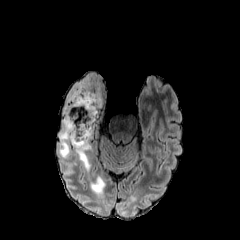
FLAIR magnetic resonance.
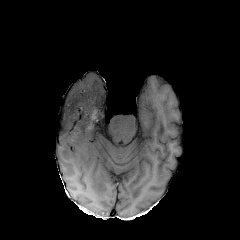
T1-weighted MR of the same slice.
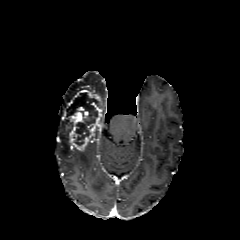
Same slice, post-contrast T1-weighted magnetic resonance.
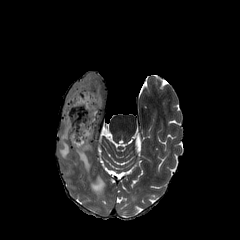
T2-weighted MR.
Axial view.
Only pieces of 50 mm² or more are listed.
enhancing_tumor:
  - (65, 89, 102, 151)
  - (70, 112, 82, 121)
peritumoral_edema:
  - (59, 82, 89, 158)
  - (74, 144, 91, 172)
  - (88, 175, 105, 195)
necrotic_tumor_core:
  - (67, 92, 100, 145)